Slice 122 of 155. Brain. 240x240 px.
FLAIR magnetic resonance.
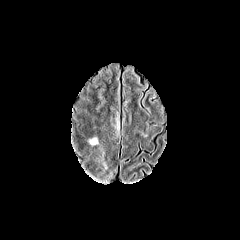
T1-weighted magnetic resonance.
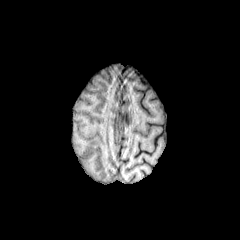
Post-contrast T1-weighted MR.
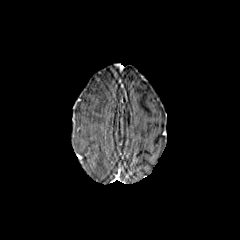
T2-weighted magnetic resonance.
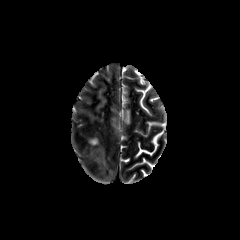
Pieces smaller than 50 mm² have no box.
peritumoral edema: bounding box x1=89, y1=138, x2=98, y2=145